Axial slice, Head, 240x240, Slice 107 of 155
FLAIR MRI.
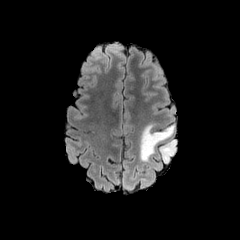
T1-weighted MR image.
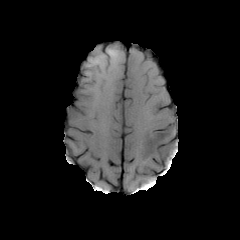
Post-contrast T1-weighted MR.
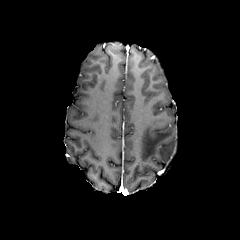
T2-weighted MRI.
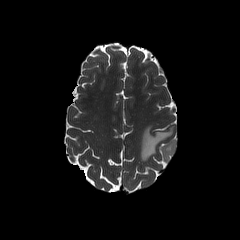
<segmentation>
  <peritumoral_edema>[159,140,176,162], [140,123,173,161]</peritumoral_edema>
</segmentation>